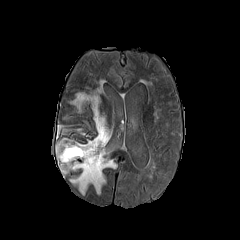
FLAIR MR image.
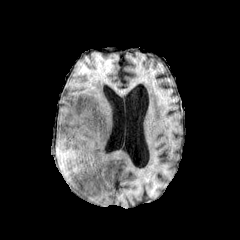
T1-weighted MR image.
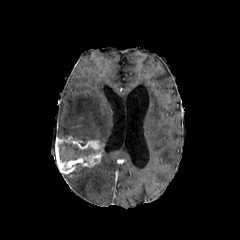
Post-contrast T1-weighted MR image.
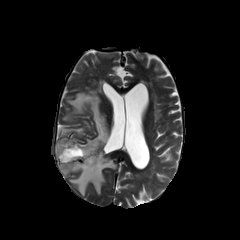
T2-weighted MRI of the same slice.
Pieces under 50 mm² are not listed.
peritumoral edema at box=[70, 93, 109, 148]; box=[70, 152, 116, 194]
necrotic tumor core at box=[58, 141, 95, 161]
enhancing tumor at box=[55, 136, 103, 173]